Brain; 240x240 px; Slice 94 of 155
FLAIR MRI.
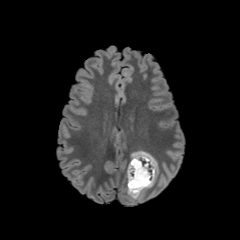
T1-weighted MRI.
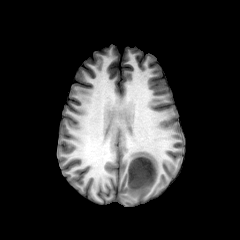
Post-contrast T1-weighted MR.
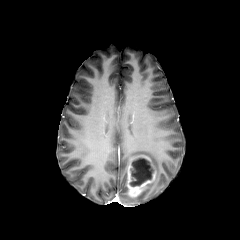
T2-weighted MR.
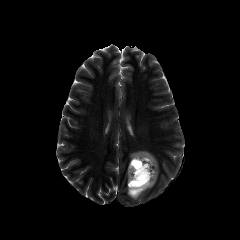
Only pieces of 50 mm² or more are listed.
The enhancing tumor lies within (x1=127, y1=155, x2=156, y2=197). The necrotic tumor core is located at (x1=130, y1=158, x2=154, y2=186). The largest peritumoral edema region is bounded by (x1=131, y1=151, x2=158, y2=188).